FLAIR magnetic resonance.
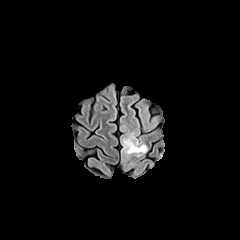
T1-weighted MRI.
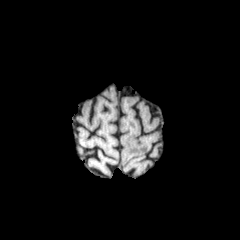
Post-contrast T1-weighted MR image.
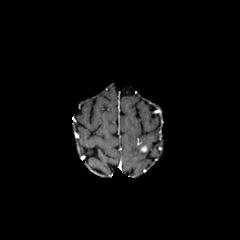
T2-weighted MR image.
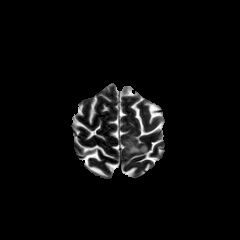
Brain; Axial view
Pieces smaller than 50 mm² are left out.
Findings:
• enhancing tumor: (140, 145, 147, 152)
• peritumoral edema: (122, 127, 144, 161)